Slice 86/155. Axial view. Brain.
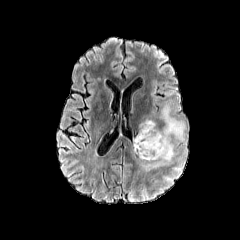
FLAIR MR.
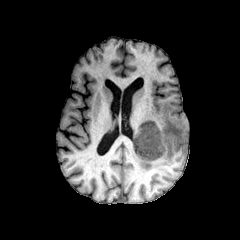
Same slice, T1-weighted MR.
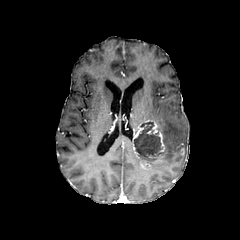
Post-contrast T1-weighted MRI.
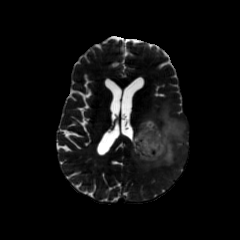
Same slice, T2-weighted MR.
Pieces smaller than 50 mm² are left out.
necrotic tumor core — 134, 122, 161, 157
peritumoral edema — 142, 102, 187, 170
enhancing tumor — 133, 119, 165, 166